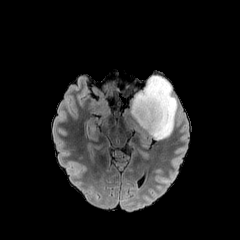
FLAIR magnetic resonance.
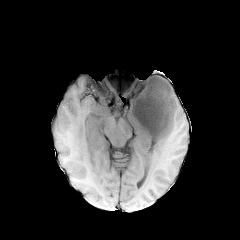
T1-weighted MR image.
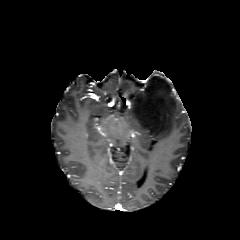
Post-contrast T1-weighted MRI.
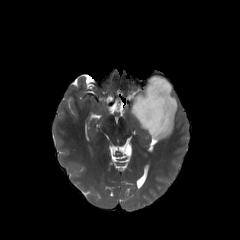
T2-weighted MR.
Axial slice
peritumoral_edema:
  - 123,75,177,140